FLAIR MRI.
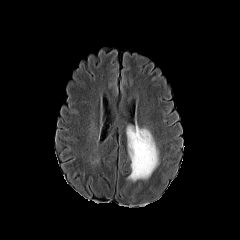
T1-weighted MRI.
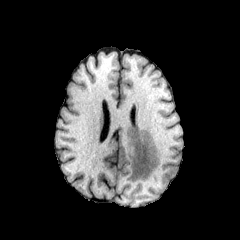
Post-contrast T1-weighted magnetic resonance.
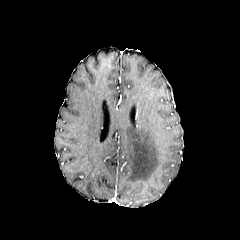
T2-weighted MR image.
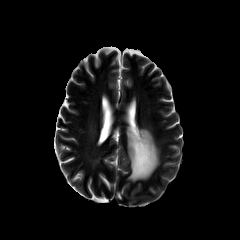
240x240
peritumoral edema: 126, 126, 158, 181